Axial view | Head
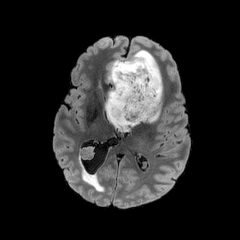
FLAIR MRI.
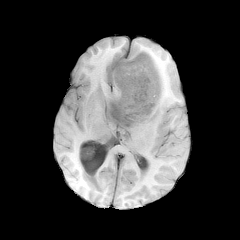
T1-weighted MRI.
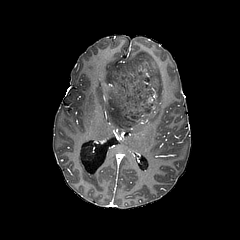
Same slice, post-contrast T1-weighted MR image.
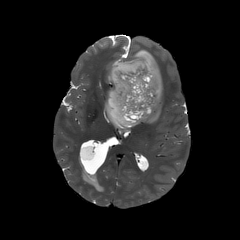
T2-weighted MRI.
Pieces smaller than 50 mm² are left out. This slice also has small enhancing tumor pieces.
necrotic tumor core = [110, 54, 159, 126]
peritumoral edema = [105, 49, 162, 131]